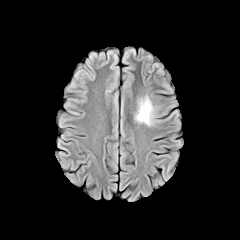
FLAIR MR image.
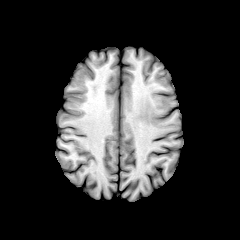
T1-weighted MRI.
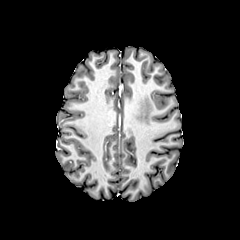
Post-contrast T1-weighted MR image.
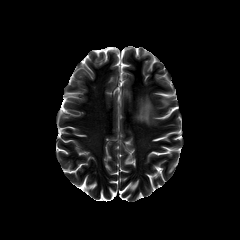
T2-weighted magnetic resonance.
Head; Axial view
peritumoral edema: bounding box 135 96 153 125